Brain
FLAIR MR image.
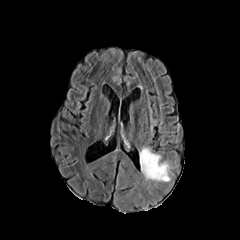
T1-weighted MR.
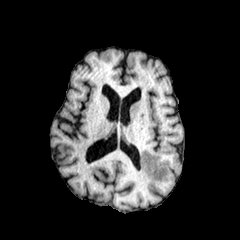
Post-contrast T1-weighted magnetic resonance.
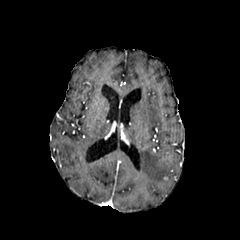
T2-weighted MR.
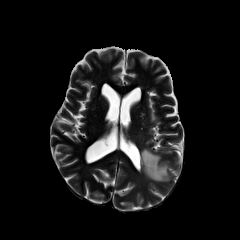
peritumoral_edema:
  - <bbox>140, 148, 170, 182</bbox>